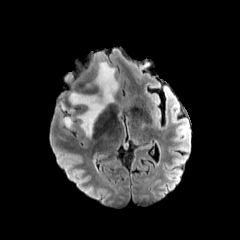
FLAIR MR image.
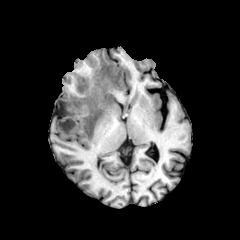
T1-weighted MR.
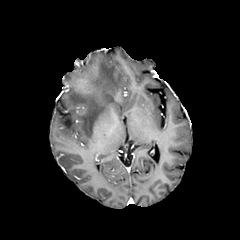
Post-contrast T1-weighted magnetic resonance.
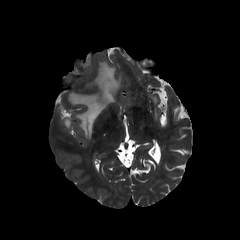
T2-weighted MR.
Head.
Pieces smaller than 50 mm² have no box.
The 2 largest peritumoral edema regions are bounded by box=[63, 117, 72, 128]; box=[69, 61, 119, 137].